FLAIR MR.
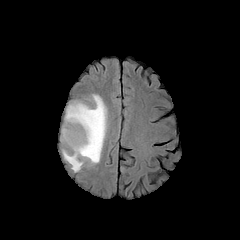
T1-weighted MR image.
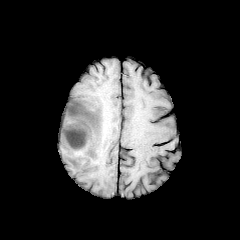
Post-contrast T1-weighted MR image.
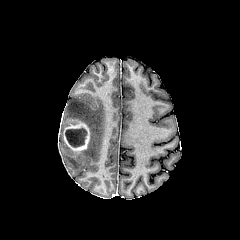
T2-weighted MR.
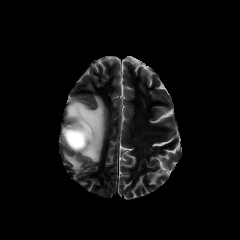
Brain
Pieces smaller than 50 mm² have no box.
necrotic tumor core: [x1=65, y1=128, x2=86, y2=147]
peritumoral edema: [x1=62, y1=95, x2=106, y2=171]
enhancing tumor: [x1=62, y1=120, x2=90, y2=152]